Head. Axial plane.
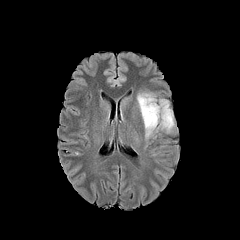
FLAIR MR.
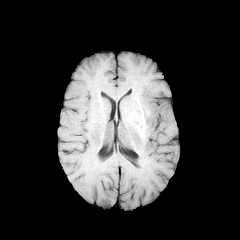
T1-weighted MR.
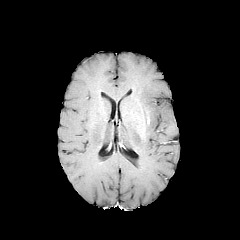
Post-contrast T1-weighted MR.
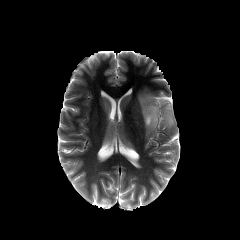
T2-weighted MRI of the same slice.
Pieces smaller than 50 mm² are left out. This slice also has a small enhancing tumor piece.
peritumoral edema — 137:93:173:136